Slice index 120, Image size 240x240, Axial plane, Head
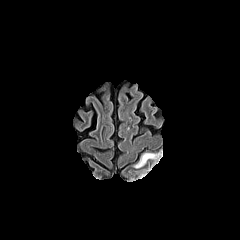
FLAIR MRI.
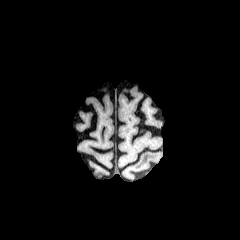
T1-weighted MRI.
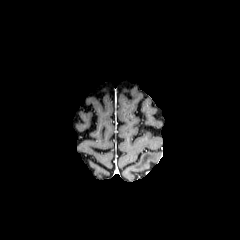
Same slice, post-contrast T1-weighted MR image.
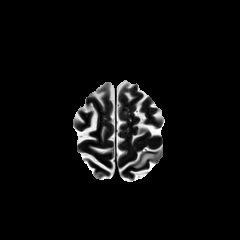
T2-weighted MR.
peritumoral edema: box(135, 153, 160, 168)